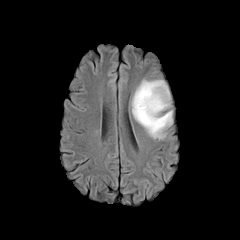
FLAIR MR.
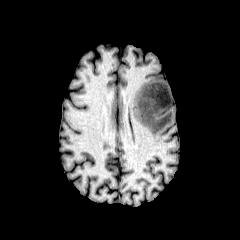
T1-weighted MR.
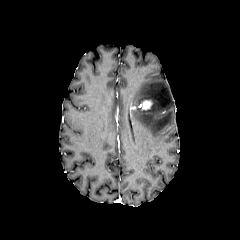
Same slice, post-contrast T1-weighted MR image.
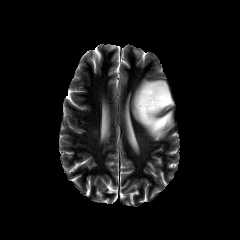
Same slice, T2-weighted MRI.
Head; Axial plane; Image size 240x240
enhancing tumor: left=138, top=100, right=152, bottom=110 | peritumoral edema: left=130, top=80, right=172, bottom=139